FLAIR MR image.
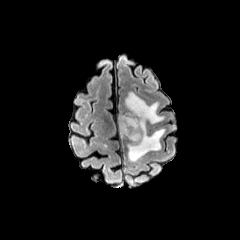
T1-weighted magnetic resonance.
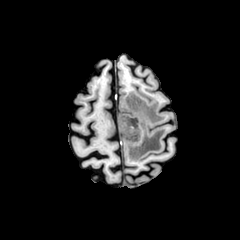
Post-contrast T1-weighted MR.
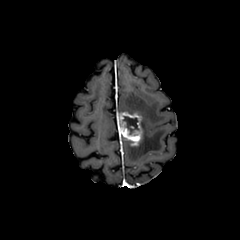
T2-weighted MRI.
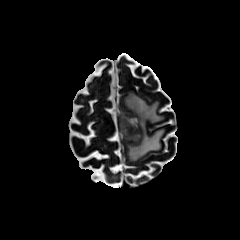
Axial plane, Head
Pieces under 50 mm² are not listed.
The largest peritumoral edema region appears at [125, 92, 164, 161]. The necrotic tumor core lies within [123, 116, 138, 134]. The largest enhancing tumor region is at [117, 111, 142, 145].